FLAIR MR.
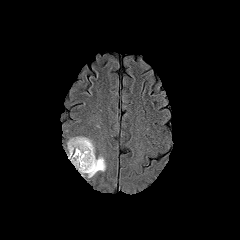
T1-weighted magnetic resonance.
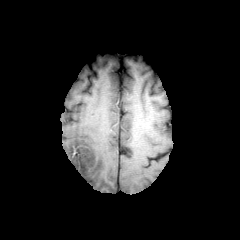
Post-contrast T1-weighted MRI.
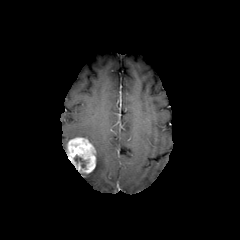
T2-weighted MRI.
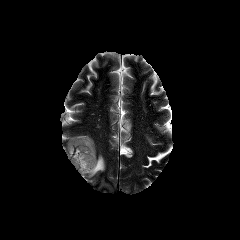
Axial slice, Image size 240x240
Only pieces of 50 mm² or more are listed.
The enhancing tumor appears at bbox=[66, 137, 95, 173]. The necrotic tumor core is located at bbox=[74, 156, 85, 167]. The largest peritumoral edema region appears at bbox=[87, 156, 105, 177].